Image size 240x240. Head.
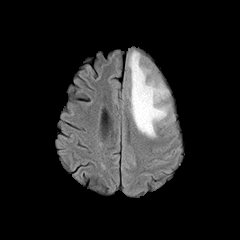
FLAIR MR.
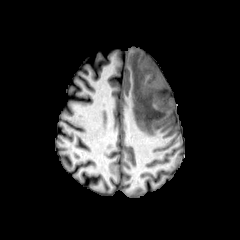
T1-weighted MRI.
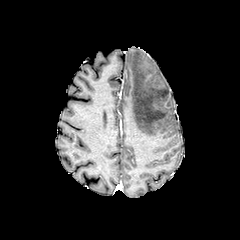
Post-contrast T1-weighted MR of the same slice.
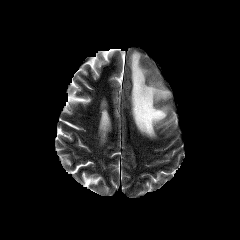
T2-weighted MR image of the same slice.
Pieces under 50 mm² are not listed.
Findings:
* peritumoral edema: x1=128 y1=51 x2=168 y2=137